Axial slice.
FLAIR MRI.
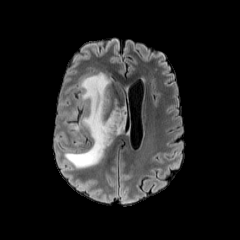
T1-weighted MR.
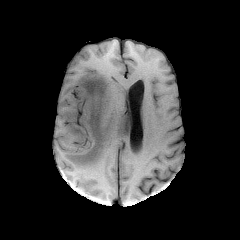
Post-contrast T1-weighted MR.
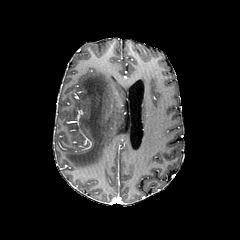
T2-weighted MR.
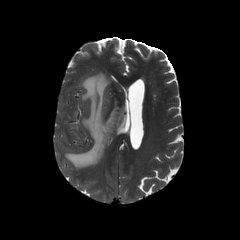
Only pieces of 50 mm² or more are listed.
The 2 largest peritumoral edema regions are bounded by region(64, 72, 125, 168); region(71, 124, 83, 138).